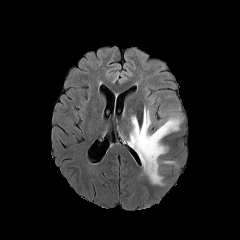
FLAIR MR image.
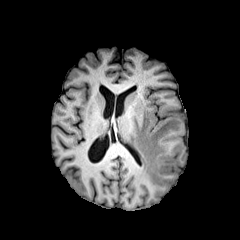
T1-weighted MR image.
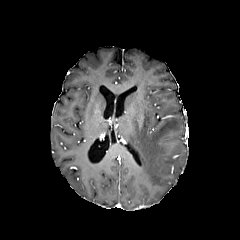
Post-contrast T1-weighted MR.
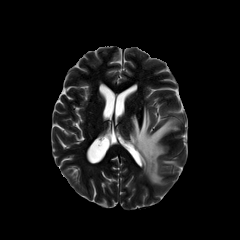
T2-weighted MR.
Axial plane. Brain.
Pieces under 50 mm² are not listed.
peritumoral edema: bbox=[128, 107, 180, 185]